FLAIR magnetic resonance.
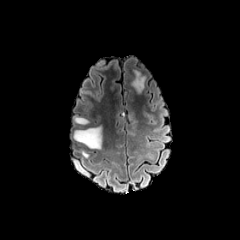
T1-weighted MRI.
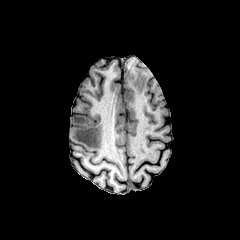
Post-contrast T1-weighted magnetic resonance.
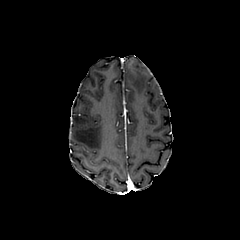
T2-weighted magnetic resonance.
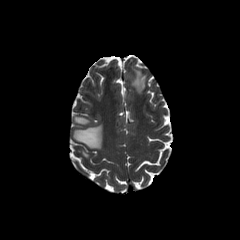
240x240. Brain.
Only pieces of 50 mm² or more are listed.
The 3 largest peritumoral edema regions appear at <bbox>73, 126, 101, 149</bbox>, <bbox>74, 117, 88, 124</bbox>, <bbox>132, 71, 146, 93</bbox>.